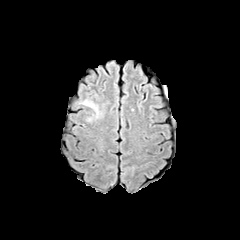
FLAIR MRI.
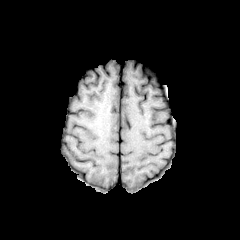
T1-weighted MR image of the same slice.
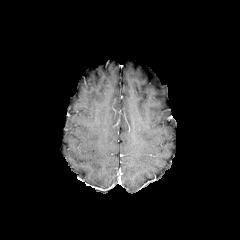
Post-contrast T1-weighted MR.
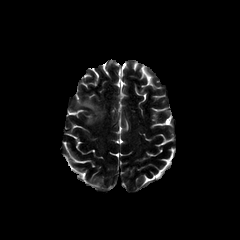
T2-weighted magnetic resonance.
Image size 240x240
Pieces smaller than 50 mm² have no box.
<segmentation>
  <peritumoral_edema>{"x1": 79, "y1": 100, "x2": 101, "y2": 118}</peritumoral_edema>
</segmentation>